Image size 240x240, Brain
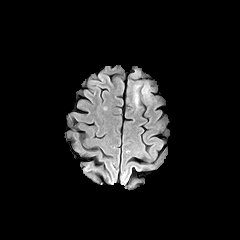
FLAIR magnetic resonance.
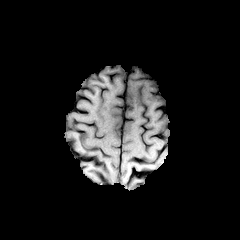
Same slice, T1-weighted MRI.
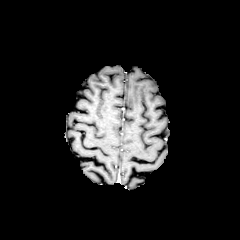
Post-contrast T1-weighted MR image of the same slice.
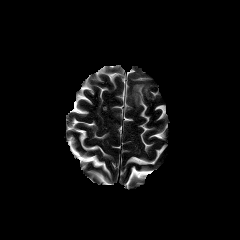
T2-weighted magnetic resonance.
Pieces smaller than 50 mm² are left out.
{
  "peritumoral_edema": [
    "left=142, top=85, right=149, bottom=98",
    "left=133, top=84, right=140, bottom=107"
  ]
}